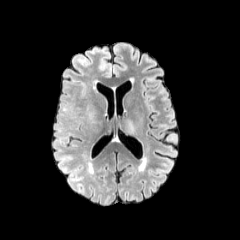
FLAIR MRI.
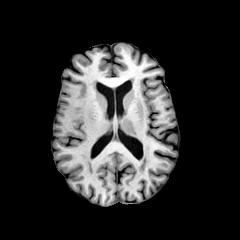
T1-weighted magnetic resonance.
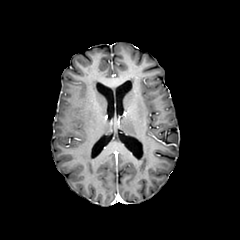
Post-contrast T1-weighted MR image.
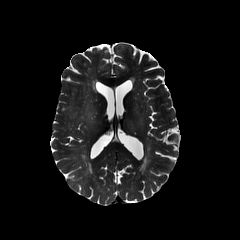
T2-weighted MRI.
240x240.
peritumoral edema at 86,103,100,124